FLAIR MR image.
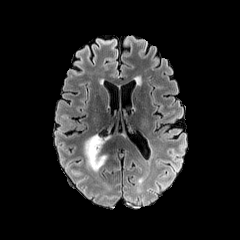
T1-weighted MRI.
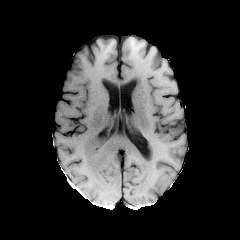
Post-contrast T1-weighted MR.
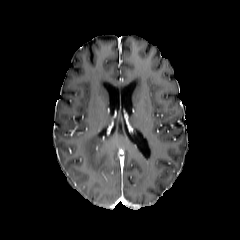
T2-weighted magnetic resonance.
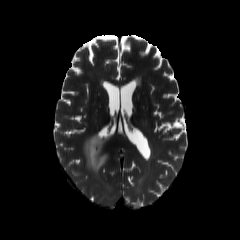
peritumoral edema at 84,134,110,172